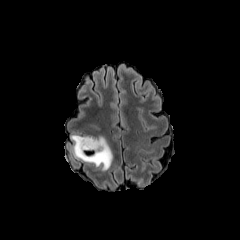
FLAIR MR image.
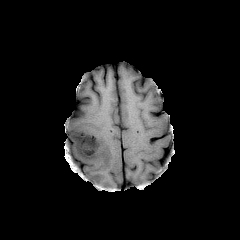
T1-weighted MRI.
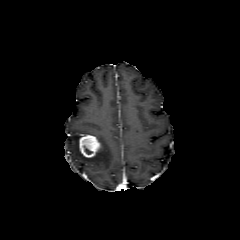
Post-contrast T1-weighted MR of the same slice.
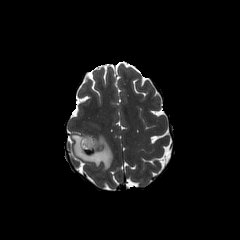
T2-weighted MR image of the same slice.
Head
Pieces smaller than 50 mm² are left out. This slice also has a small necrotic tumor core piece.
<segmentation>
  <peritumoral_edema>71:133:113:170</peritumoral_edema>
  <enhancing_tumor>79:135:101:157</enhancing_tumor>
</segmentation>